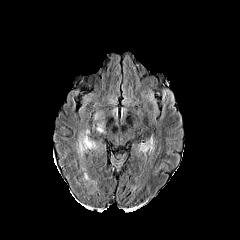
FLAIR MRI.
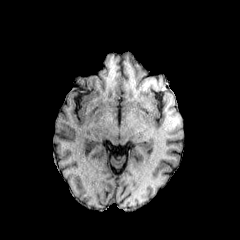
Same slice, T1-weighted MR.
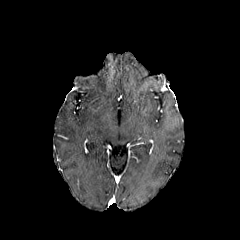
Post-contrast T1-weighted MRI.
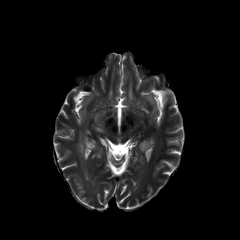
T2-weighted MR.
Head
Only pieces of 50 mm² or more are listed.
Segmented structures:
* peritumoral edema: [x1=139, y1=144, x2=149, y2=152], [x1=77, y1=130, x2=96, y2=155]